Axial view
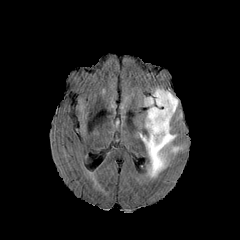
FLAIR MR image.
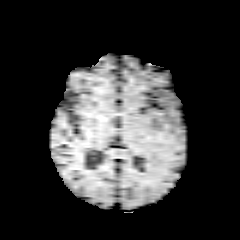
Same slice, T1-weighted MR.
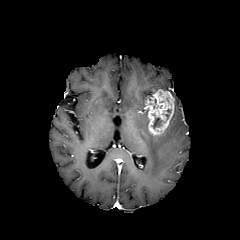
Same slice, post-contrast T1-weighted MR.
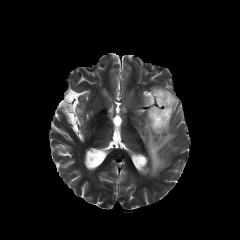
T2-weighted MR.
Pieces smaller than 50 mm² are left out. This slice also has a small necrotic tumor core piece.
peritumoral edema: (x1=172, y1=94, x2=178, y2=113), (x1=140, y1=111, x2=179, y2=177) | enhancing tumor: (x1=145, y1=89, x2=174, y2=135)